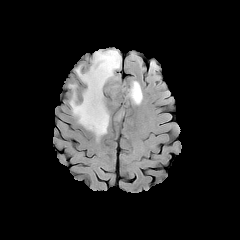
FLAIR MR image.
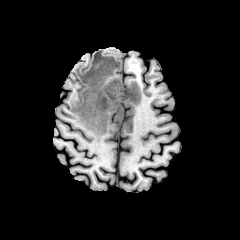
T1-weighted MR image of the same slice.
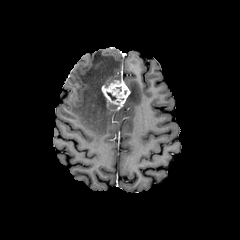
Post-contrast T1-weighted MRI of the same slice.
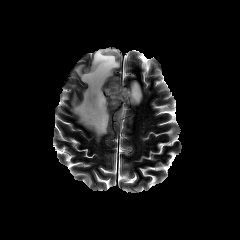
T2-weighted MRI.
Axial view
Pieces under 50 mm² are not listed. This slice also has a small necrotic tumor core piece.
peritumoral edema: 70 49 121 140, 127 81 142 104
enhancing tumor: 101 80 130 108